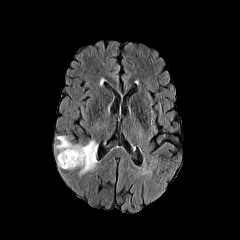
FLAIR MR.
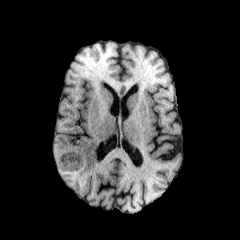
Same slice, T1-weighted MR.
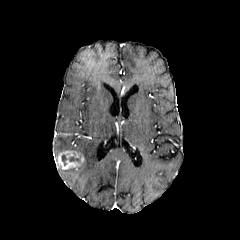
Same slice, post-contrast T1-weighted MR.
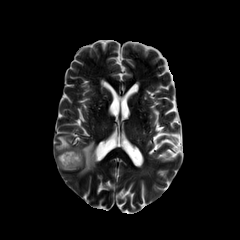
T2-weighted magnetic resonance.
Axial view
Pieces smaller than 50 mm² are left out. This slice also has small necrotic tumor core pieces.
<segmentation>
  <enhancing_tumor>(x1=57, y1=150, x2=84, y2=169)</enhancing_tumor>
  <peritumoral_edema>(x1=55, y1=136, x2=96, y2=175)</peritumoral_edema>
</segmentation>